FLAIR MR.
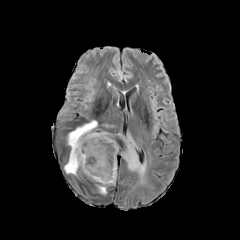
T1-weighted magnetic resonance.
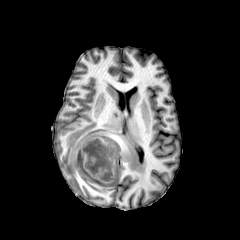
Post-contrast T1-weighted MRI.
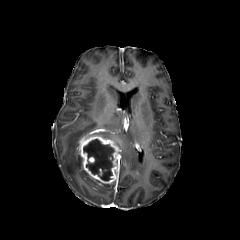
T2-weighted MR.
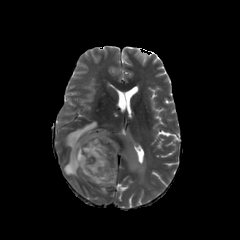
Brain
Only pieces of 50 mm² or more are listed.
The 4 largest peritumoral edema regions are bounded by x1=118, y1=133, x2=146, y2=183; x1=95, y1=132, x2=111, y2=138; x1=64, y1=120, x2=97, y2=176; x1=98, y1=182, x2=114, y2=194. The largest necrotic tumor core region appears at x1=83, y1=139, x2=113, y2=180. The largest enhancing tumor region is located at x1=77, y1=133, x2=120, y2=183.